Slice 101/155, 240x240
FLAIR MR.
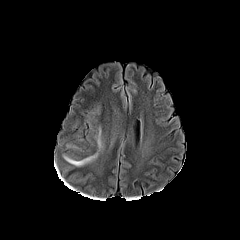
T1-weighted MRI.
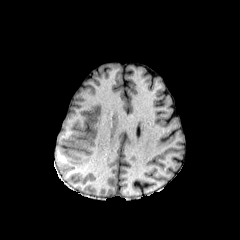
Post-contrast T1-weighted MR image.
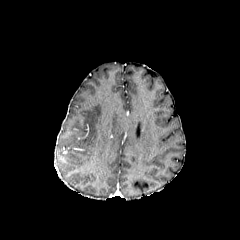
T2-weighted MR.
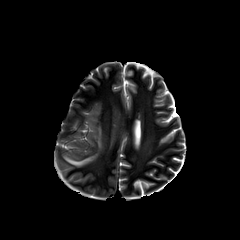
peritumoral edema at [x1=65, y1=125, x2=101, y2=165], [x1=65, y1=144, x2=84, y2=152]